Image width 240 mm | Axial plane
FLAIR MR image.
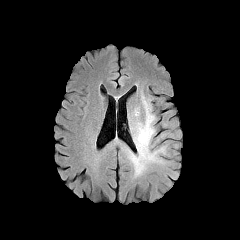
T1-weighted MR.
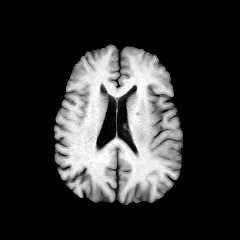
Post-contrast T1-weighted MR.
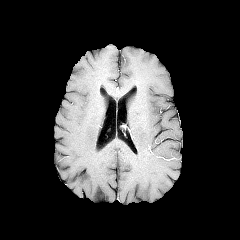
T2-weighted MR image.
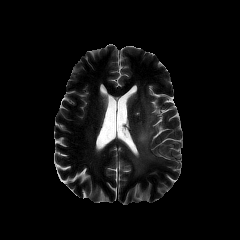
peritumoral_edema:
  - box(131, 100, 164, 172)